Brain
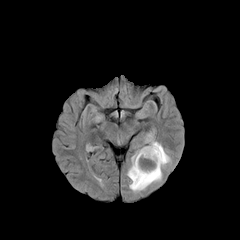
FLAIR MRI.
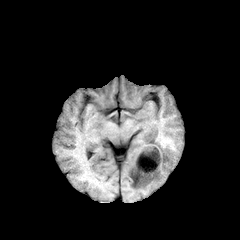
T1-weighted magnetic resonance.
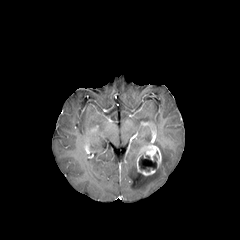
Post-contrast T1-weighted MR image.
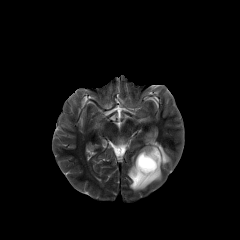
T2-weighted magnetic resonance.
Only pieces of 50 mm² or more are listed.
{"peritumoral_edema": ["(127,131,171,192)"], "necrotic_tumor_core": ["(139,155,157,171)"], "enhancing_tumor": ["(136,144,161,175)"]}